Slice 64 of 155; Brain
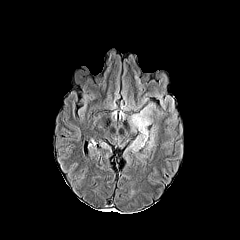
FLAIR MRI.
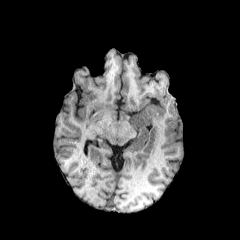
T1-weighted MR.
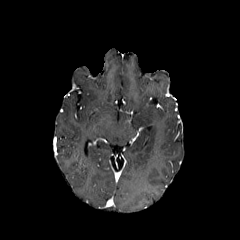
Same slice, post-contrast T1-weighted magnetic resonance.
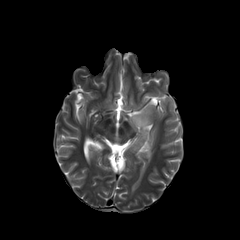
Same slice, T2-weighted magnetic resonance.
peritumoral edema: box=[148, 129, 154, 146]; box=[132, 105, 151, 149]